Brain; 240x240; Slice 132 of 155
FLAIR MRI.
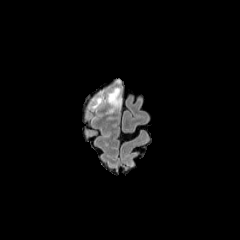
T1-weighted magnetic resonance.
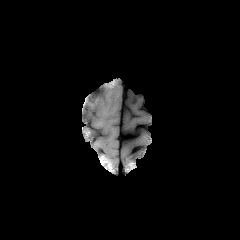
Post-contrast T1-weighted magnetic resonance.
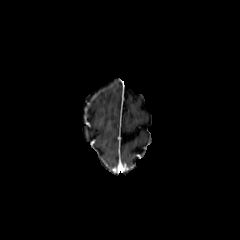
T2-weighted magnetic resonance.
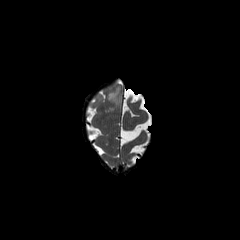
peritumoral edema at box=[107, 78, 122, 111]; box=[92, 97, 101, 108]